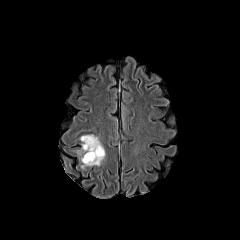
FLAIR MR image.
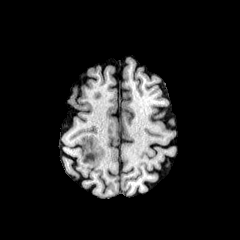
T1-weighted magnetic resonance.
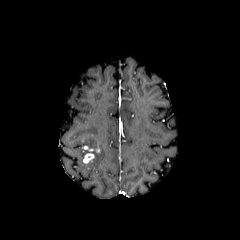
Same slice, post-contrast T1-weighted MRI.
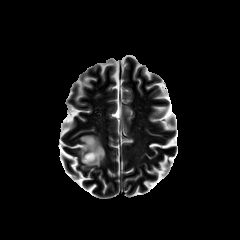
T2-weighted MR.
Axial plane
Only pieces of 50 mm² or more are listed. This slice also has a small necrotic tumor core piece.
peritumoral edema: [x1=80, y1=134, x2=105, y2=168], [x1=77, y1=149, x2=85, y2=162] | enhancing tumor: [x1=82, y1=144, x2=95, y2=163]